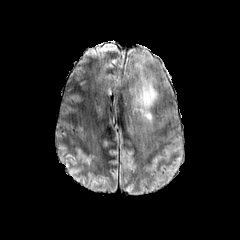
FLAIR MR image.
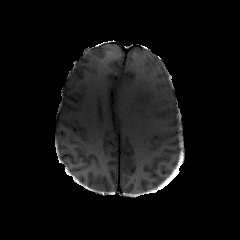
T1-weighted MR image.
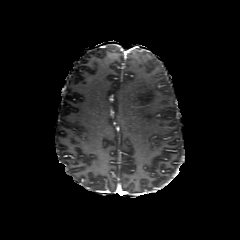
Post-contrast T1-weighted MR image.
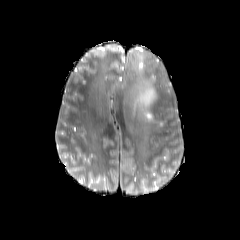
T2-weighted MRI.
Head
peritumoral edema at (x1=130, y1=63, x2=158, y2=123)